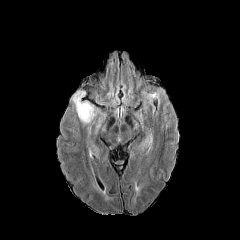
FLAIR magnetic resonance.
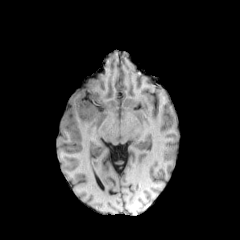
T1-weighted MR image of the same slice.
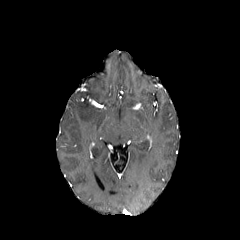
Post-contrast T1-weighted MR.
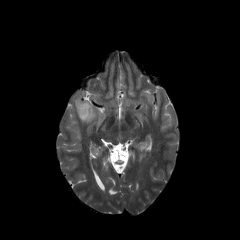
T2-weighted MR image.
Head.
The peritumoral edema lies within 70 88 105 132.